Head, Axial slice, Image covers 240 mm x 240 mm, 240x240 px
FLAIR MR.
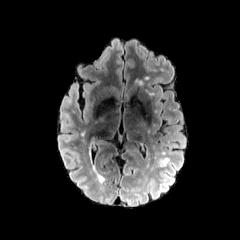
T1-weighted MR image.
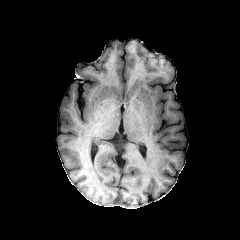
Post-contrast T1-weighted MR image.
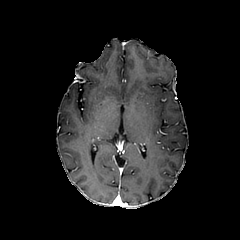
T2-weighted magnetic resonance.
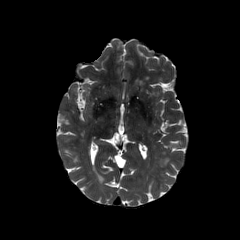
peritumoral_edema:
  - l=159, t=158, r=169, b=166